FLAIR MR.
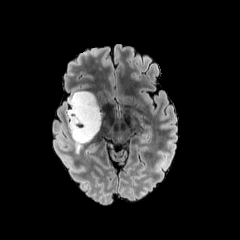
T1-weighted MR image.
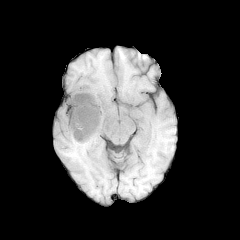
Post-contrast T1-weighted magnetic resonance.
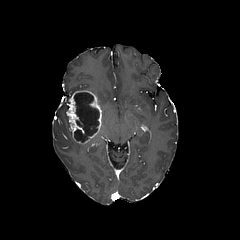
T2-weighted MR image.
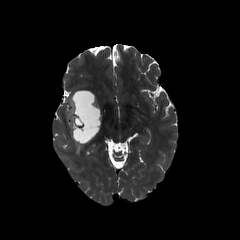
Brain; Axial slice
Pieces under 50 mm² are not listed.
The largest peritumoral edema region lies within x1=72, y1=136, x2=83, y2=153. The enhancing tumor lies within x1=67, y1=90, x2=101, y2=143. The necrotic tumor core appears at x1=74, y1=92, x2=99, y2=142.